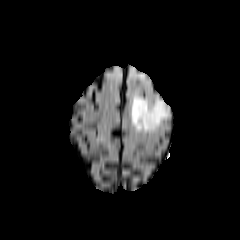
FLAIR MR image.
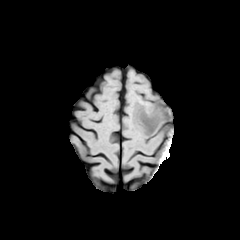
T1-weighted magnetic resonance.
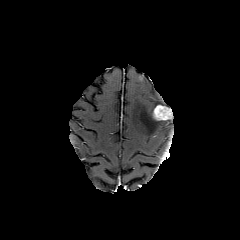
Post-contrast T1-weighted MRI.
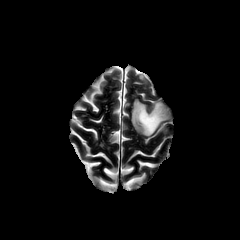
T2-weighted MR image.
peritumoral edema at box=[131, 95, 164, 134]
enhancing tumor at box=[152, 104, 171, 120]